Brain, 240x240 px
FLAIR MR image.
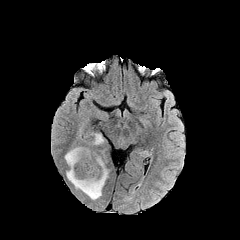
T1-weighted MR.
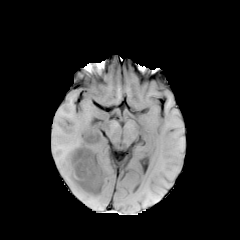
Post-contrast T1-weighted MR image.
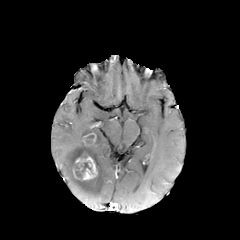
T2-weighted MRI.
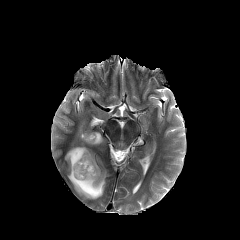
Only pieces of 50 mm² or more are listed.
The 2 largest necrotic tumor core regions are located at (x1=84, y1=134, x2=94, y2=143), (x1=73, y1=162, x2=91, y2=179). The peritumoral edema is bounded by (x1=64, y1=123, x2=108, y2=200). The largest enhancing tumor region lies within (x1=75, y1=151, x2=97, y2=180).